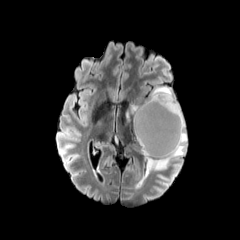
FLAIR MRI.
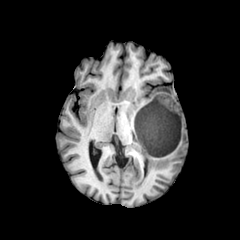
T1-weighted MRI of the same slice.
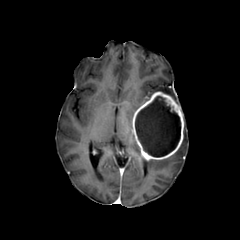
Post-contrast T1-weighted magnetic resonance.
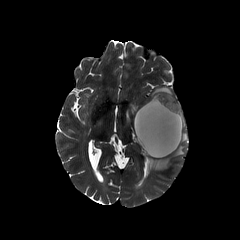
T2-weighted MR image.
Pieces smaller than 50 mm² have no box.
Annotated regions:
* enhancing tumor: (left=132, top=91, right=184, bottom=160)
* necrotic tumor core: (left=135, top=96, right=180, bottom=157)
* peritumoral edema: (left=125, top=86, right=178, bottom=121), (left=146, top=122, right=187, bottom=173)